Head | Image width 240 mm, 1.00 mm slice spacing
FLAIR MR image.
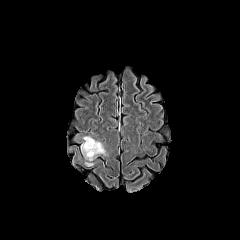
T1-weighted MR image.
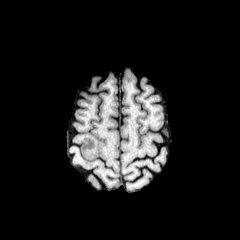
Post-contrast T1-weighted MR image.
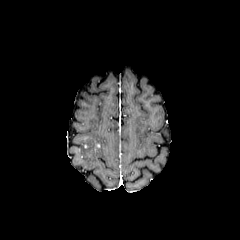
T2-weighted MR image.
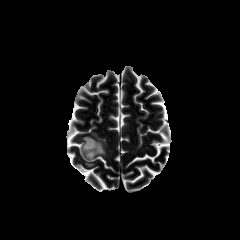
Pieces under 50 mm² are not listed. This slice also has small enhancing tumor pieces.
The largest peritumoral edema region lies within box(81, 136, 105, 160).